Image width 240 mm | Brain
FLAIR MR image.
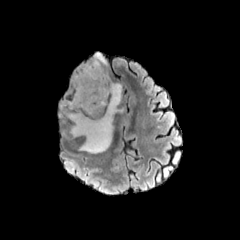
T1-weighted MR image.
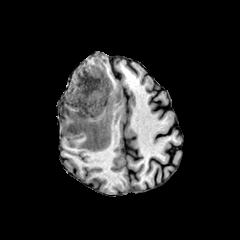
Post-contrast T1-weighted magnetic resonance.
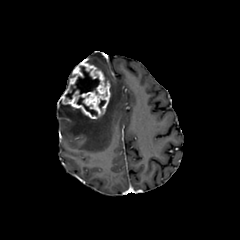
T2-weighted MRI.
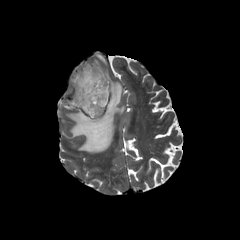
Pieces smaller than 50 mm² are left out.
• peritumoral edema: l=91, t=60, r=103, b=72; l=95, t=53, r=106, b=64; l=66, t=82, r=123, b=153
• necrotic tumor core: l=65, t=66, r=99, b=99; l=77, t=97, r=97, b=115
• enhancing tumor: l=61, t=61, r=110, b=118